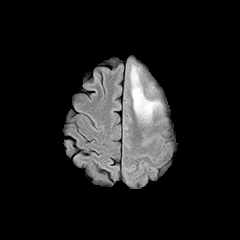
FLAIR MR.
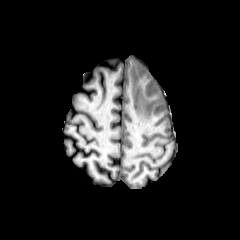
Same slice, T1-weighted MR image.
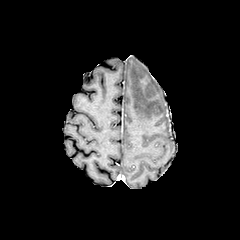
Post-contrast T1-weighted MRI.
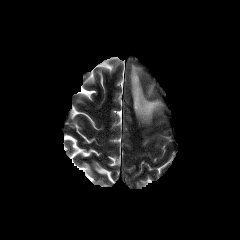
Same slice, T2-weighted MR image.
240x240
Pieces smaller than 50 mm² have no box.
The largest peritumoral edema region is bounded by 130 64 161 121.